Slice index 80 | Axial view | Head
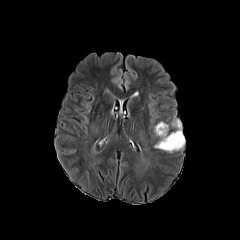
FLAIR MR.
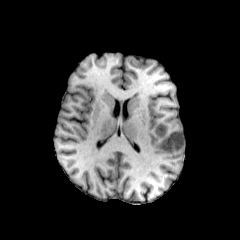
Same slice, T1-weighted MR.
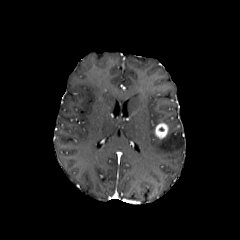
Same slice, post-contrast T1-weighted MRI.
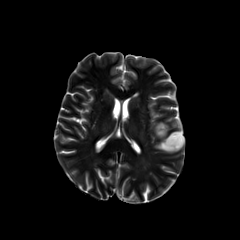
T2-weighted MR image of the same slice.
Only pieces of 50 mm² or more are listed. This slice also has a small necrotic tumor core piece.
The enhancing tumor is located at x1=154 y1=123 x2=167 y2=139. The largest peritumoral edema region is at x1=155 y1=119 x2=185 y2=153.